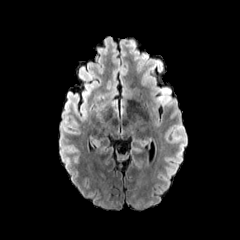
FLAIR MR image.
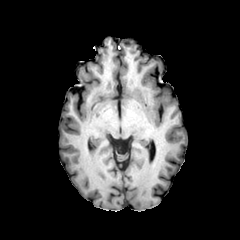
Same slice, T1-weighted MRI.
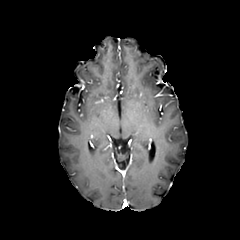
Post-contrast T1-weighted MR image.
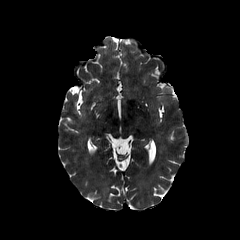
T2-weighted MR.
Image size 240x240 | Brain
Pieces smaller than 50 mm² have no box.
The largest peritumoral edema region is located at 159,87,171,99.